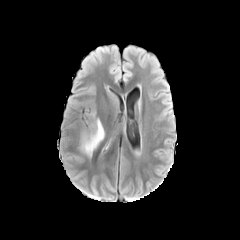
FLAIR magnetic resonance.
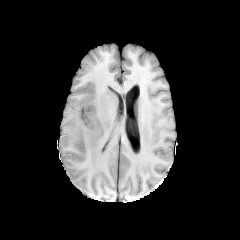
Same slice, T1-weighted MR image.
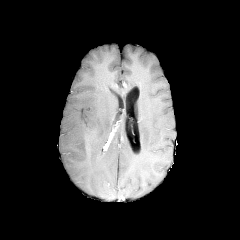
Same slice, post-contrast T1-weighted MRI.
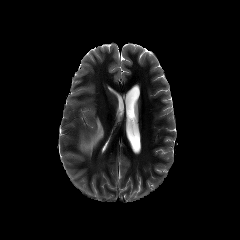
T2-weighted MR.
Brain, Axial view, 240x240
• peritumoral edema: <bbox>80, 118, 104, 156</bbox>